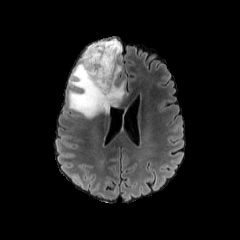
FLAIR magnetic resonance.
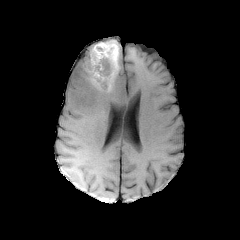
T1-weighted MRI.
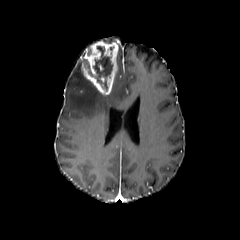
Post-contrast T1-weighted MR image.
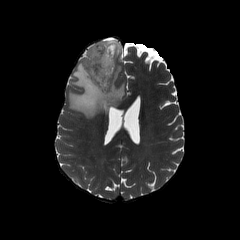
T2-weighted MRI.
Axial plane. Image size 240x240.
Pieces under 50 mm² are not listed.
The largest enhancing tumor region is located at l=81, t=41, r=118, b=95. The peritumoral edema is at l=68, t=39, r=125, b=118. The largest necrotic tumor core region is at l=84, t=46, r=112, b=90.